Axial slice
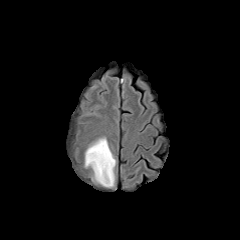
FLAIR MR image.
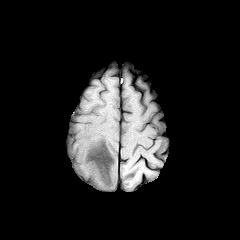
Same slice, T1-weighted MR.
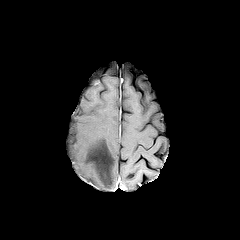
Same slice, post-contrast T1-weighted MRI.
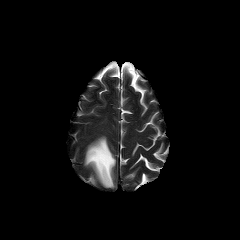
Same slice, T2-weighted MR.
peritumoral edema: box=[85, 137, 115, 187]